FLAIR MR.
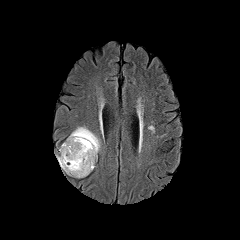
T1-weighted magnetic resonance.
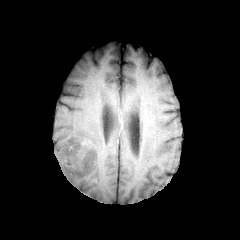
Post-contrast T1-weighted magnetic resonance.
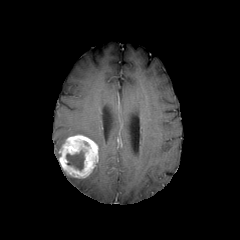
T2-weighted MRI.
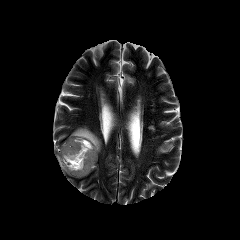
Image size 240x240 | Head | Axial view
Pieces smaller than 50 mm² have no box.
<segmentation>
  <enhancing_tumor>[59,135,98,178]</enhancing_tumor>
  <necrotic_tumor_core>[66,151,84,170]</necrotic_tumor_core>
  <peritumoral_edema>[69,127,100,152]</peritumoral_edema>
</segmentation>